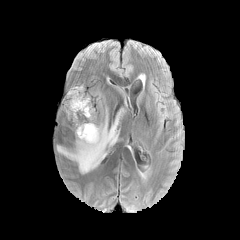
FLAIR MR image.
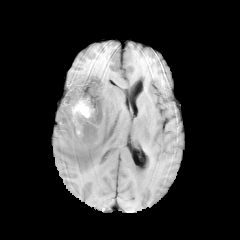
T1-weighted MR image.
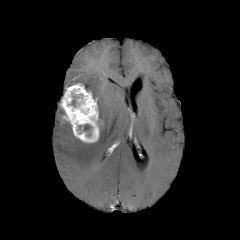
Post-contrast T1-weighted magnetic resonance of the same slice.
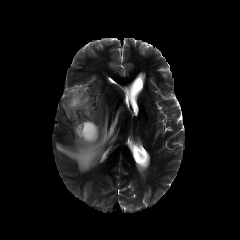
T2-weighted MR.
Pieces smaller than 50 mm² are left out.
The enhancing tumor is bounded by rect(61, 83, 102, 142). The 2 largest necrotic tumor core regions are bounded by rect(83, 124, 91, 131); rect(71, 95, 82, 106). The largest peritumoral edema region is bounded by rect(56, 107, 121, 173).